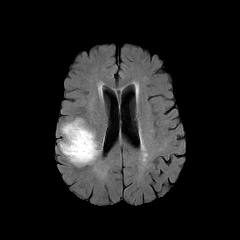
FLAIR magnetic resonance.
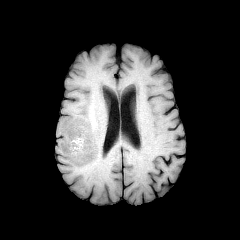
T1-weighted MR image of the same slice.
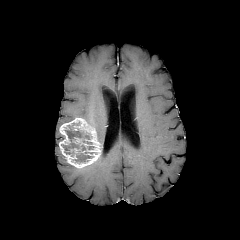
Post-contrast T1-weighted MRI.
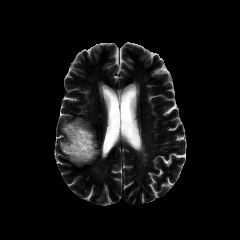
T2-weighted MR image of the same slice.
Axial plane.
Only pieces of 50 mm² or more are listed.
Findings:
- necrotic tumor core: 62, 122, 93, 163
- enhancing tumor: 59, 117, 101, 168